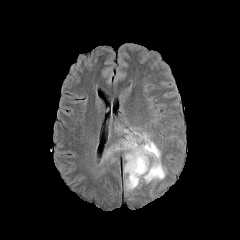
FLAIR MR image.
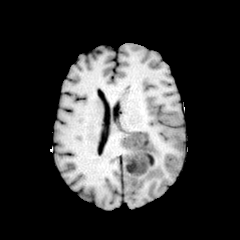
T1-weighted MRI of the same slice.
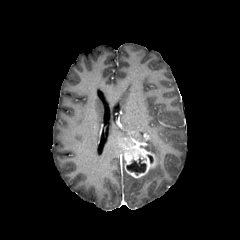
Same slice, post-contrast T1-weighted magnetic resonance.
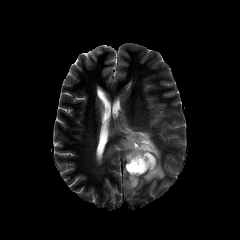
T2-weighted MR image.
Head. 240x240.
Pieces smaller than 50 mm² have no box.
<segmentation>
  <enhancing_tumor>left=119, top=132, right=156, bottom=177</enhancing_tumor>
  <necrotic_tumor_core>left=126, top=158, right=146, bottom=174</necrotic_tumor_core>
  <peritumoral_edema>left=126, top=139, right=165, bottom=189</peritumoral_edema>
</segmentation>